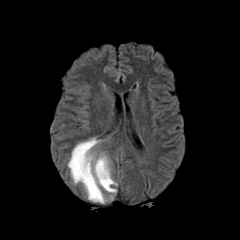
FLAIR magnetic resonance.
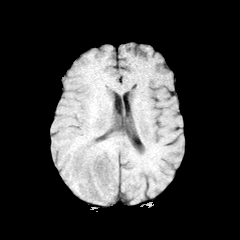
T1-weighted MRI.
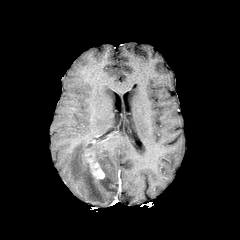
Post-contrast T1-weighted magnetic resonance.
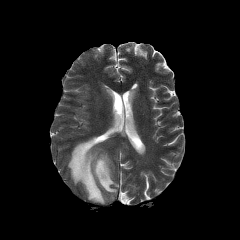
T2-weighted MRI of the same slice.
Head | 240x240
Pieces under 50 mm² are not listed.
Segmented structures:
• enhancing tumor: 83,150,105,179
• peritumoral edema: 68,137,117,203